FLAIR magnetic resonance.
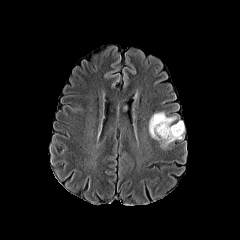
T1-weighted MR.
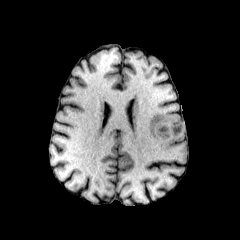
Post-contrast T1-weighted MR image.
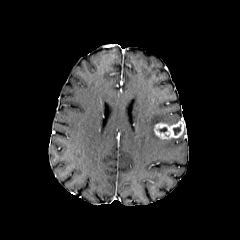
T2-weighted MR.
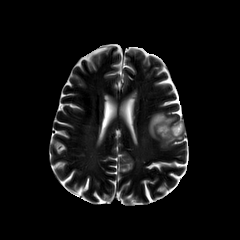
Brain; Axial plane
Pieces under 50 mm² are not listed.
The largest necrotic tumor core region appears at x1=173, y1=124, x2=181, y2=134. The peritumoral edema is located at x1=148, y1=112, x2=182, y2=148. The enhancing tumor lies within x1=154, y1=121, x2=184, y2=139.